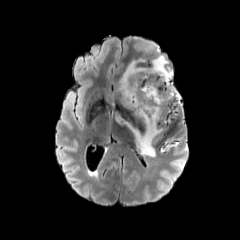
FLAIR MRI.
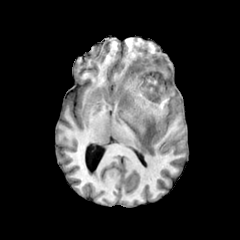
T1-weighted MRI of the same slice.
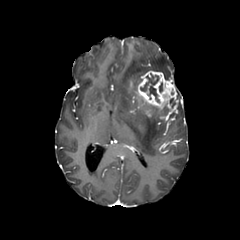
Post-contrast T1-weighted magnetic resonance of the same slice.
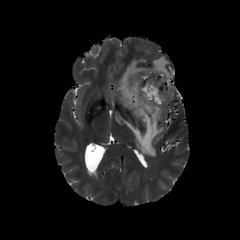
T2-weighted magnetic resonance.
240x240 px; Axial plane
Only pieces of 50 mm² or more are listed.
Segmented structures:
- necrotic tumor core: left=140, top=74, right=159, bottom=102
- enhancing tumor: left=136, top=71, right=177, bottom=109
- peritumoral edema: left=118, top=55, right=172, bottom=157